Axial view
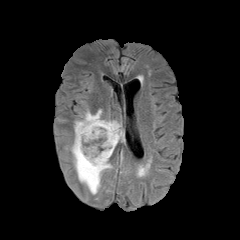
FLAIR MR image.
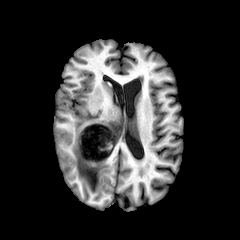
T1-weighted MR.
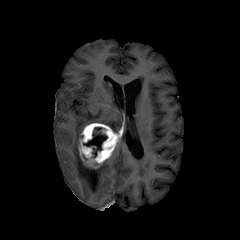
Post-contrast T1-weighted MR image.
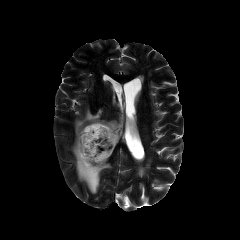
T2-weighted MR image.
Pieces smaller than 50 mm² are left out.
necrotic tumor core: <bbox>83, 127, 107, 157</bbox>
enhancing tumor: <bbox>78, 123, 121, 168</bbox>
peritumoral edema: <bbox>71, 109, 121, 194</bbox>